FLAIR MRI.
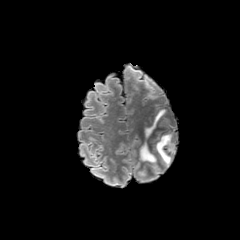
T1-weighted magnetic resonance.
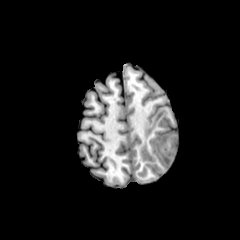
Post-contrast T1-weighted magnetic resonance.
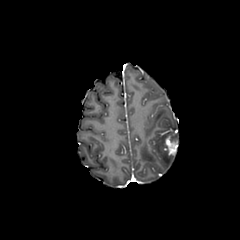
T2-weighted magnetic resonance.
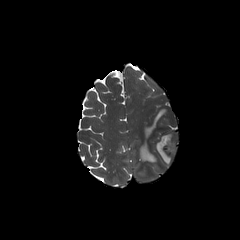
Brain
enhancing tumor: {"x1": 164, "y1": 135, "x2": 176, "y2": 155}
peritumoral edema: {"x1": 155, "y1": 132, "x2": 176, "y2": 166}, {"x1": 145, "y1": 109, "x2": 166, "y2": 136}, {"x1": 140, "y1": 144, "x2": 156, "y2": 163}